Axial slice; Brain; Image size 240x240; Slice 59/155
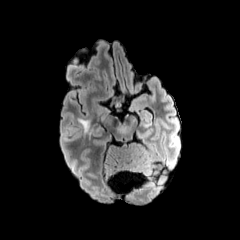
FLAIR MR image.
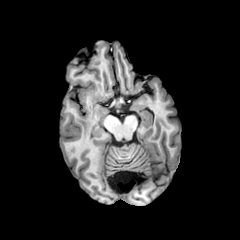
T1-weighted MRI.
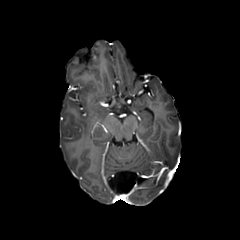
Post-contrast T1-weighted MR image of the same slice.
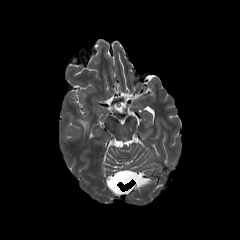
T2-weighted magnetic resonance.
peritumoral_edema:
  - box(78, 119, 90, 132)